Image covers 240 mm x 240 mm, Head, Image size 240x240
FLAIR MR image.
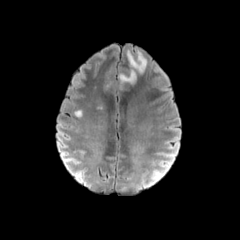
T1-weighted magnetic resonance.
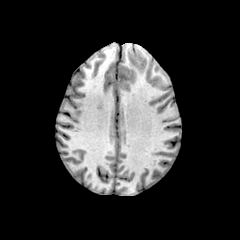
Post-contrast T1-weighted MRI.
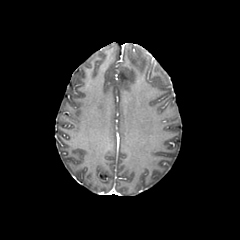
T2-weighted MRI.
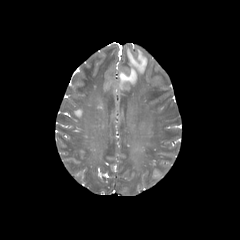
peritumoral edema: (x1=119, y1=50, x2=146, y2=87)